Brain; Axial plane
FLAIR MR image.
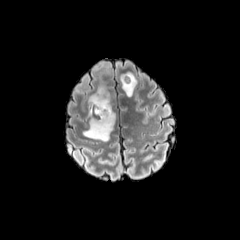
T1-weighted MR image.
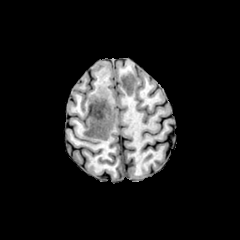
Post-contrast T1-weighted MR.
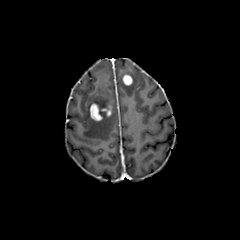
T2-weighted MR.
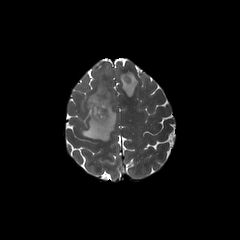
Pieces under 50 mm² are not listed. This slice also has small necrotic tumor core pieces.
peritumoral_edema:
  - (119, 72, 137, 97)
  - (83, 67, 116, 141)
enhancing_tumor:
  - (90, 103, 111, 121)
  - (122, 75, 132, 85)